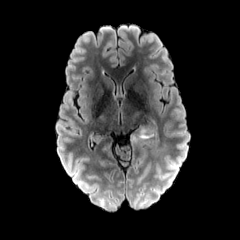
FLAIR MR image.
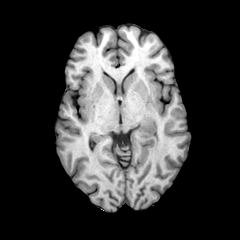
Same slice, T1-weighted MR image.
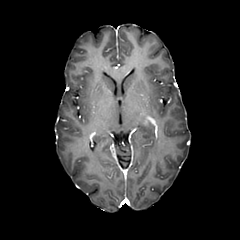
Same slice, post-contrast T1-weighted magnetic resonance.
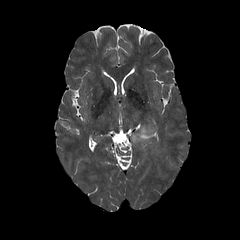
T2-weighted magnetic resonance.
Axial view
{
  "peritumoral_edema": [
    {"x1": 131, "y1": 126, "x2": 155, "y2": 143}
  ]
}